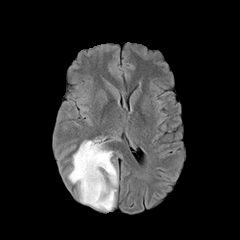
FLAIR MRI.
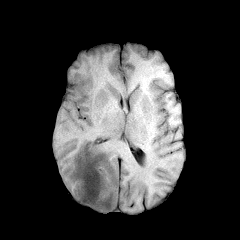
T1-weighted magnetic resonance.
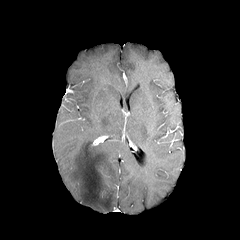
Post-contrast T1-weighted MR of the same slice.
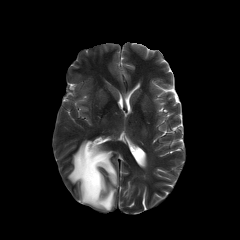
Same slice, T2-weighted MRI.
Head
peritumoral edema: bounding box (left=68, top=140, right=117, bottom=211)